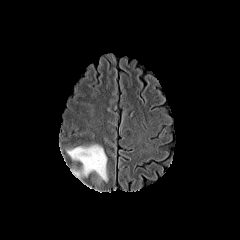
FLAIR magnetic resonance.
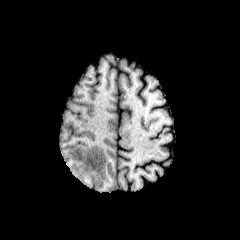
Same slice, T1-weighted magnetic resonance.
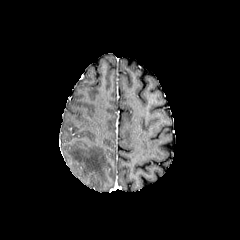
Post-contrast T1-weighted MR of the same slice.
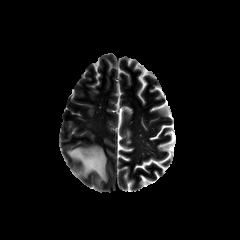
T2-weighted MR image of the same slice.
The peritumoral edema is bounded by <bbox>67, 145, 107, 181</bbox>.